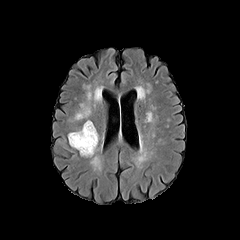
FLAIR magnetic resonance.
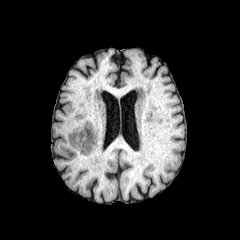
T1-weighted MR of the same slice.
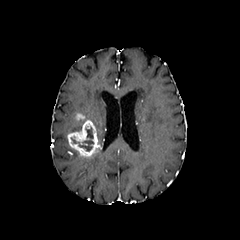
Post-contrast T1-weighted MRI.
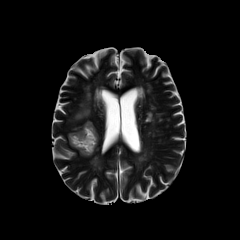
T2-weighted MR image of the same slice.
Head
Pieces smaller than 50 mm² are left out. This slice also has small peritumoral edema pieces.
The largest enhancing tumor region lies within <bbox>67, 120, 100, 157</bbox>. The necrotic tumor core is at <bbox>72, 127, 93, 151</bbox>.